Axial slice. Brain.
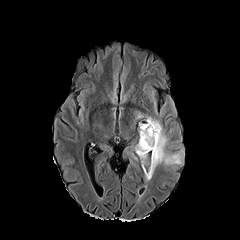
FLAIR MRI.
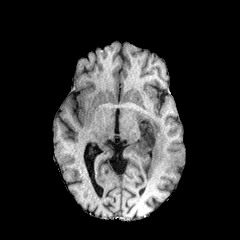
T1-weighted magnetic resonance.
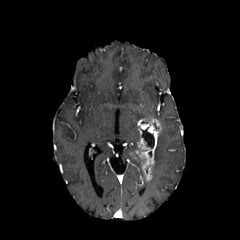
Post-contrast T1-weighted magnetic resonance.
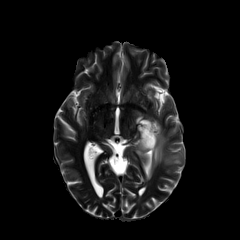
T2-weighted magnetic resonance of the same slice.
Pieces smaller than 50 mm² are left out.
necrotic tumor core: bbox(141, 127, 154, 148) | enhancing tumor: bbox(136, 118, 161, 180) | peritumoral edema: bbox(151, 129, 182, 174)